FLAIR MRI.
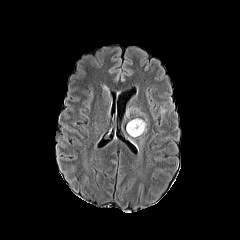
T1-weighted magnetic resonance.
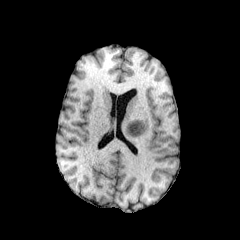
Post-contrast T1-weighted MR image.
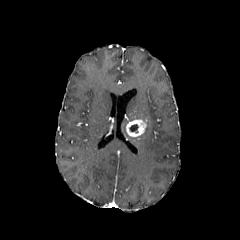
T2-weighted MR.
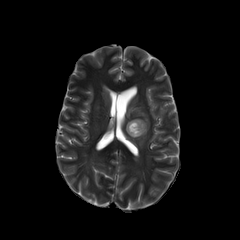
240x240.
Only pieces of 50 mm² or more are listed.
necrotic tumor core: left=129, top=124, right=138, bottom=132 | enhancing tumor: left=126, top=119, right=147, bottom=136 | peritumoral edema: left=127, top=108, right=144, bottom=115